FLAIR MRI.
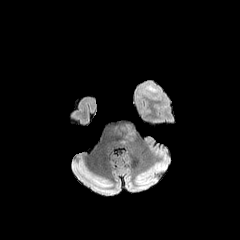
T1-weighted MR image.
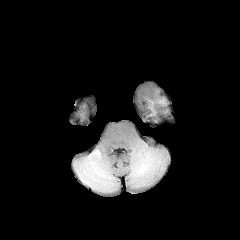
Post-contrast T1-weighted MR.
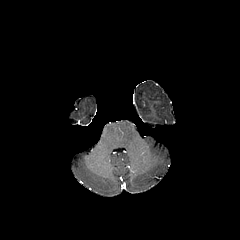
T2-weighted MR.
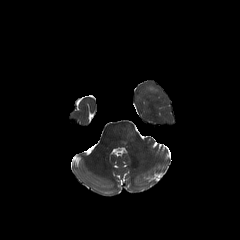
Axial slice, Head
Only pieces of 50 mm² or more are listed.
{
  "peritumoral_edema": [
    "l=120, t=123, r=134, b=139"
  ]
}